Slice index 61. Axial view. Brain.
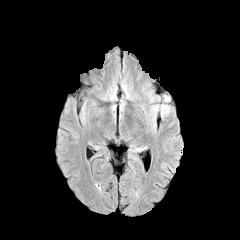
FLAIR MR.
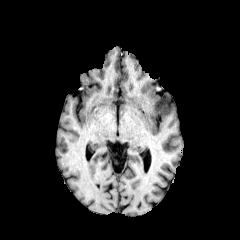
Same slice, T1-weighted magnetic resonance.
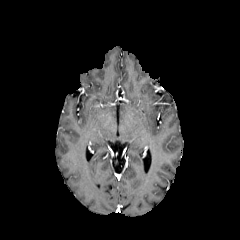
Post-contrast T1-weighted magnetic resonance of the same slice.
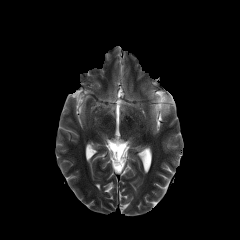
T2-weighted magnetic resonance of the same slice.
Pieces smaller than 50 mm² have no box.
Annotated regions:
• peritumoral edema: 152,104,168,114